FLAIR MR image.
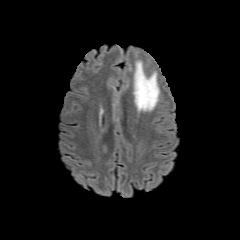
T1-weighted MR image.
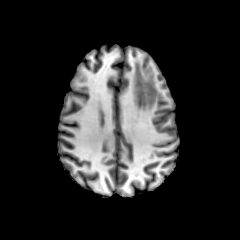
Post-contrast T1-weighted magnetic resonance.
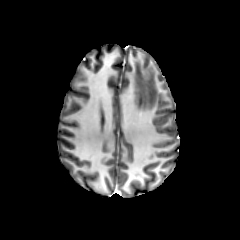
T2-weighted MR image.
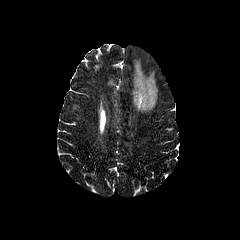
Axial view
peritumoral edema: bounding box (left=134, top=61, right=158, bottom=111)